FLAIR MR.
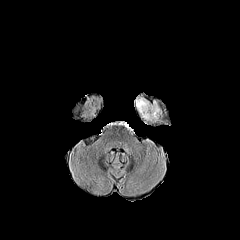
T1-weighted MR.
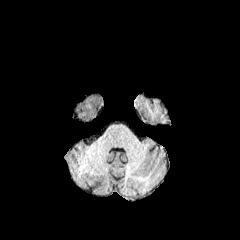
Post-contrast T1-weighted MR image.
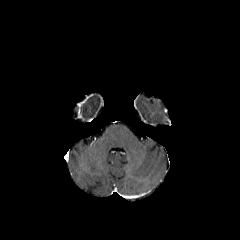
T2-weighted MR.
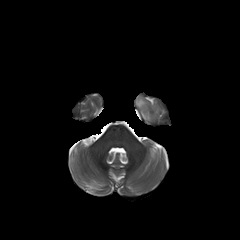
Head; Axial plane
<segmentation>
  <peritumoral_edema>x1=136, y1=95, x2=162, y2=123</peritumoral_edema>
</segmentation>